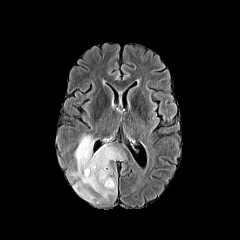
FLAIR MR.
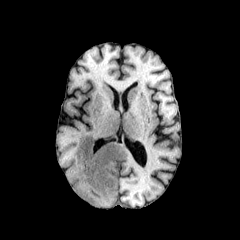
Same slice, T1-weighted MRI.
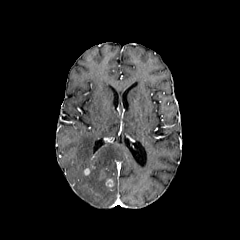
Same slice, post-contrast T1-weighted MRI.
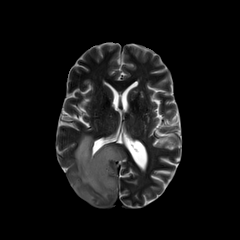
T2-weighted magnetic resonance.
240x240.
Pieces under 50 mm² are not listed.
peritumoral_edema:
  - 69, 135, 123, 204
enhancing_tumor:
  - 105, 179, 113, 187